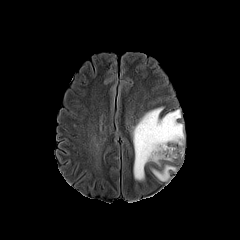
FLAIR MRI.
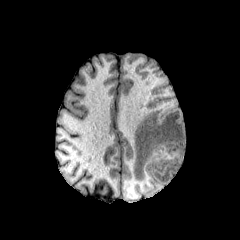
T1-weighted magnetic resonance.
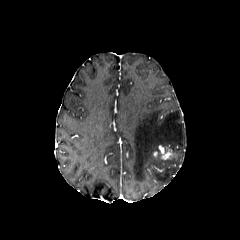
Post-contrast T1-weighted MR image.
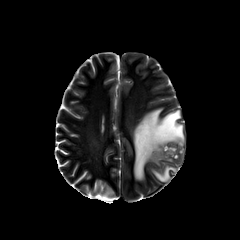
T2-weighted MR of the same slice.
Brain
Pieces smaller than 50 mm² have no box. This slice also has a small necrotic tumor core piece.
Findings:
- enhancing tumor: 158 145 176 159
- peritumoral edema: 132 107 184 180, 152 165 176 181